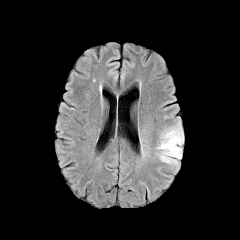
FLAIR MR image.
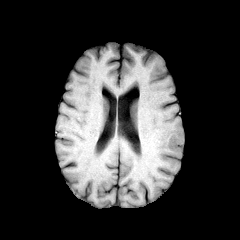
T1-weighted MR image.
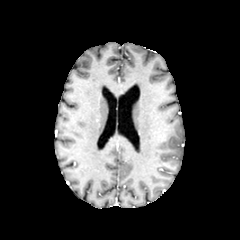
Same slice, post-contrast T1-weighted MR image.
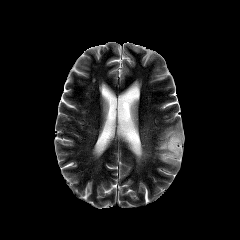
Same slice, T2-weighted magnetic resonance.
Axial slice. 240x240. Head.
The peritumoral edema is bounded by region(157, 122, 183, 165).